FLAIR MRI.
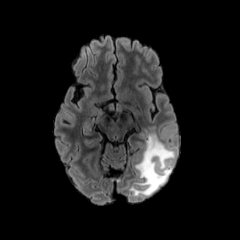
T1-weighted MRI.
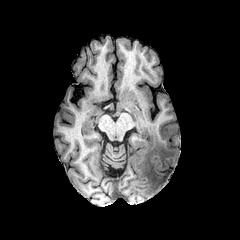
Post-contrast T1-weighted magnetic resonance.
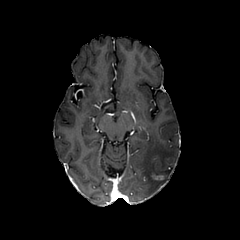
T2-weighted magnetic resonance.
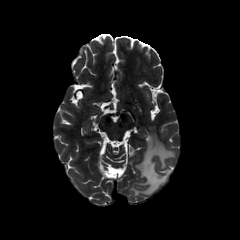
Axial plane | Head
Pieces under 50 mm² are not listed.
peritumoral edema: (130, 133, 175, 195) | enhancing tumor: (151, 173, 165, 180)